Image width 240 mm | Axial plane
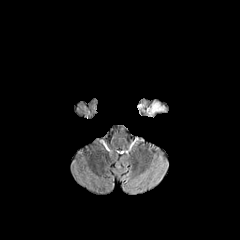
FLAIR MR image.
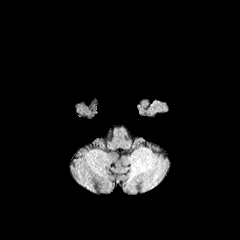
T1-weighted MRI.
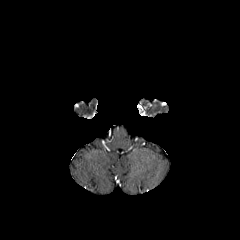
Post-contrast T1-weighted magnetic resonance.
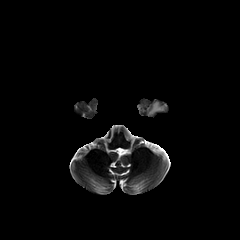
T2-weighted MRI.
peritumoral_edema:
  - 149 103 163 113